Axial view. Brain. Image size 240x240.
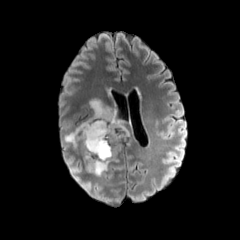
FLAIR MRI.
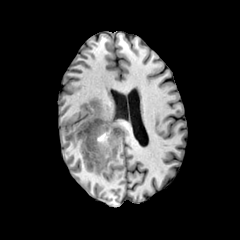
T1-weighted MR of the same slice.
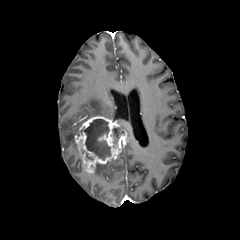
Same slice, post-contrast T1-weighted MR image.
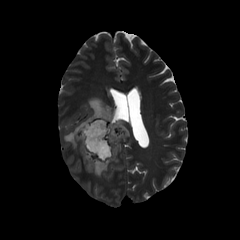
T2-weighted magnetic resonance.
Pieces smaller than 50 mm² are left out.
The enhancing tumor lies within (left=74, top=115, right=127, bottom=172). The 2 largest necrotic tumor core regions are located at (left=81, top=119, right=110, bottom=160), (left=112, top=127, right=123, bottom=143). The 3 largest peritumoral edema regions appear at (left=94, top=162, right=109, bottom=176), (left=64, top=122, right=82, bottom=147), (left=89, top=98, right=127, bottom=131).